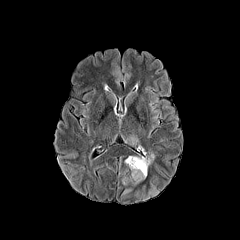
FLAIR MR image.
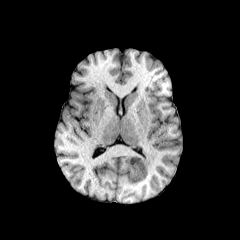
T1-weighted MR image.
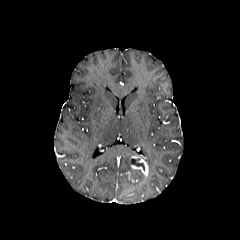
Same slice, post-contrast T1-weighted MR image.
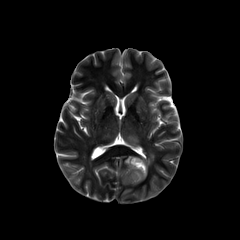
T2-weighted magnetic resonance.
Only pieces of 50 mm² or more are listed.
necrotic tumor core: bounding box 131,158,144,170
peritumoral edema: bounding box 132,170,144,182; 128,137,138,145; 145,153,154,165; 136,184,159,198
enhancing tumor: bounding box 130,156,148,177